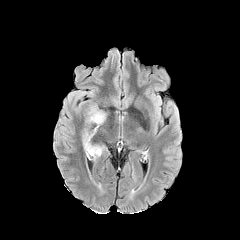
FLAIR MR image.
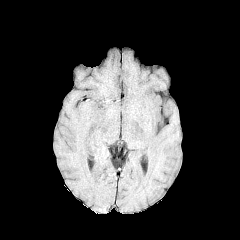
T1-weighted MR image.
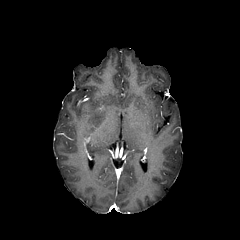
Post-contrast T1-weighted magnetic resonance.
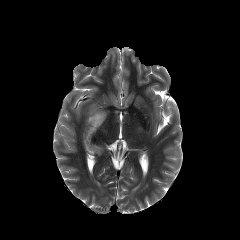
T2-weighted MR.
Head
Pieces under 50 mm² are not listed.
peritumoral edema at 86:104:106:133, 82:128:104:159